FLAIR MR image.
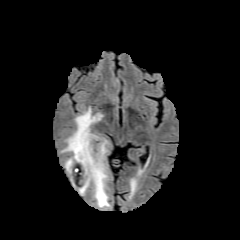
T1-weighted MR.
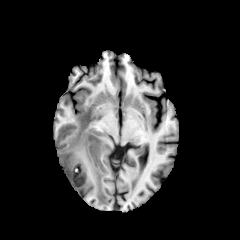
Post-contrast T1-weighted MR image.
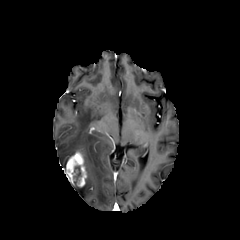
T2-weighted MR.
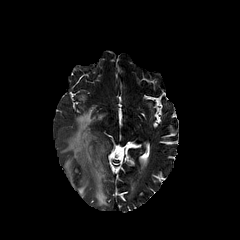
Brain | Image size 240x240
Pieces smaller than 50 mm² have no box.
Annotated regions:
* enhancing tumor: (x1=65, y1=148, x2=86, y2=188)
* peritumoral edema: (x1=60, y1=107, x2=109, y2=207)
* necrotic tumor core: (x1=72, y1=165, x2=82, y2=184)